FLAIR MR image.
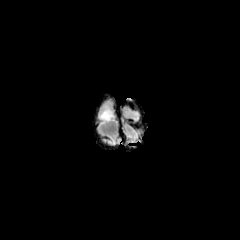
T1-weighted magnetic resonance.
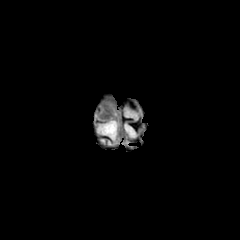
Post-contrast T1-weighted MR image.
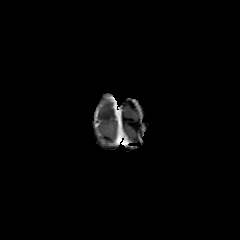
T2-weighted MRI.
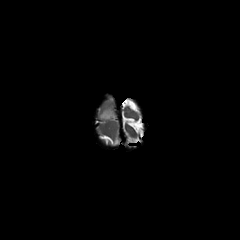
240x240 px
{"peritumoral_edema": ["99, 108, 114, 120"]}